Slice 97 of 155. Image covers 240 mm x 240 mm.
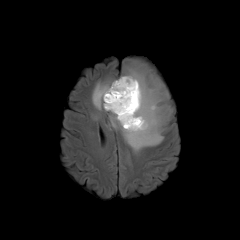
FLAIR MRI.
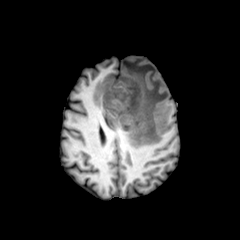
Same slice, T1-weighted MR image.
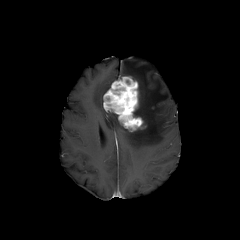
Post-contrast T1-weighted MR.
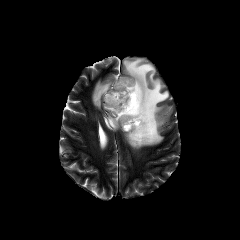
T2-weighted MR.
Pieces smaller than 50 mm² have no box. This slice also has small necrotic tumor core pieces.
<segmentation>
  <peritumoral_edema>92:80:113:110, 107:60:172:152</peritumoral_edema>
  <enhancing_tumor>103:76:146:131</enhancing_tumor>
</segmentation>